Axial view; Image size 240x240; Slice 63/155; Brain
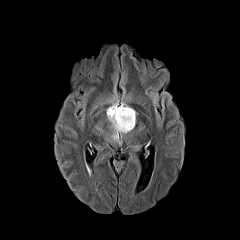
FLAIR MR image.
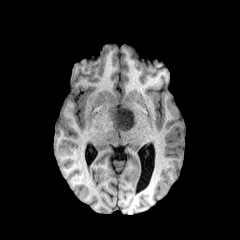
T1-weighted magnetic resonance of the same slice.
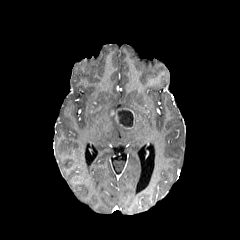
Same slice, post-contrast T1-weighted MRI.
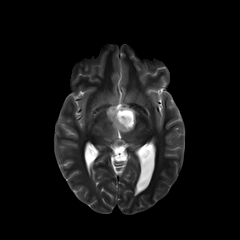
Same slice, T2-weighted MR image.
- necrotic tumor core: (x1=118, y1=109, x2=133, y2=127)
- enhancing tumor: (x1=111, y1=108, x2=134, y2=129)
- peritumoral edema: (x1=106, y1=100, x2=137, y2=142)